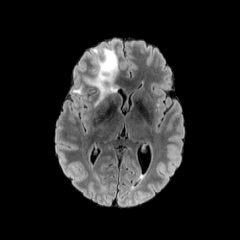
FLAIR MR image.
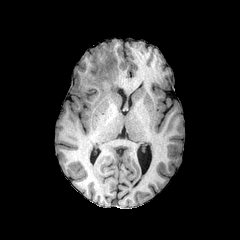
T1-weighted MR image.
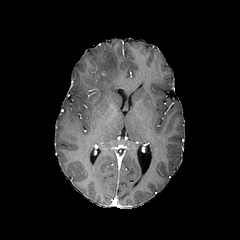
Post-contrast T1-weighted MRI.
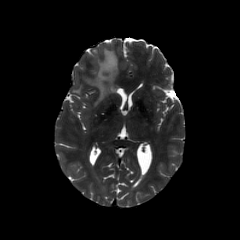
T2-weighted magnetic resonance of the same slice.
Head, Axial slice
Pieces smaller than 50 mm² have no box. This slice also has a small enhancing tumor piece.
peritumoral_edema:
  - 73 48 118 105